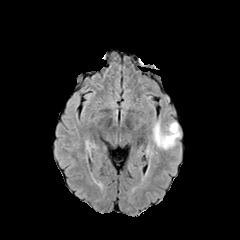
FLAIR magnetic resonance.
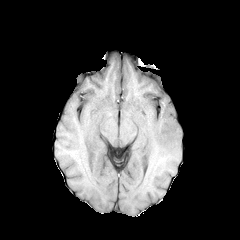
T1-weighted MR.
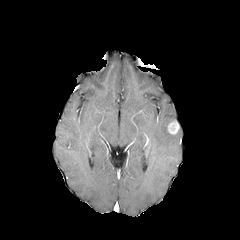
Post-contrast T1-weighted MRI.
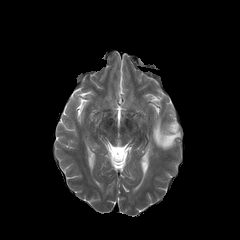
Same slice, T2-weighted magnetic resonance.
Axial slice; Brain
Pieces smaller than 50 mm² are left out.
<segmentation>
  <peritumoral_edema>(152, 118, 180, 149)</peritumoral_edema>
  <enhancing_tumor>(167, 121, 179, 134)</enhancing_tumor>
</segmentation>